Slice 92 of 155; Brain
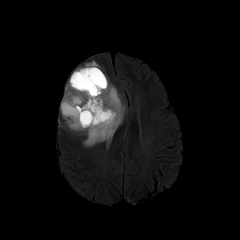
FLAIR MR image.
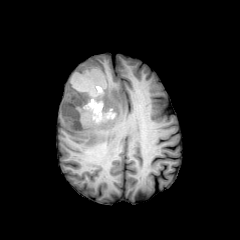
T1-weighted MR.
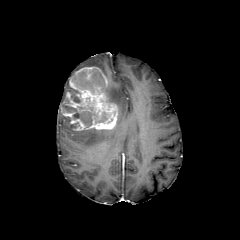
Post-contrast T1-weighted MR image of the same slice.
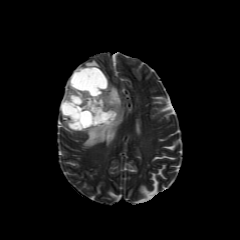
T2-weighted MR.
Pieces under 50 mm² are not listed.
enhancing tumor at <box>60,77,118,130</box>, <box>72,67,107,86</box>
necrotic tumor core at <box>68,91,80,102</box>, <box>63,104,95,125</box>, <box>72,69,106,92</box>, <box>95,113,107,122</box>
peritumoral edema at <box>84,60,100,68</box>, <box>74,79,125,146</box>, <box>60,81,77,106</box>, <box>61,113,73,130</box>